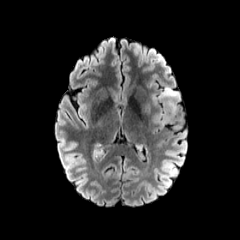
FLAIR MR.
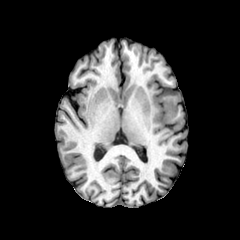
T1-weighted MRI.
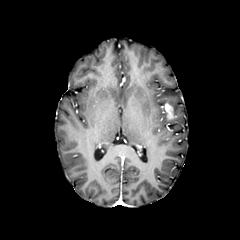
Post-contrast T1-weighted MR.
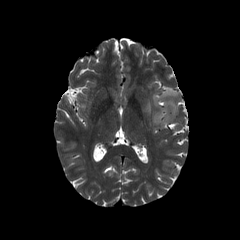
T2-weighted MR.
Axial slice
Findings:
• enhancing tumor: box=[162, 103, 174, 119]
• peritumoral edema: box=[154, 108, 171, 125]; box=[152, 87, 179, 115]